FLAIR MR.
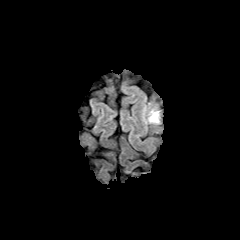
T1-weighted magnetic resonance.
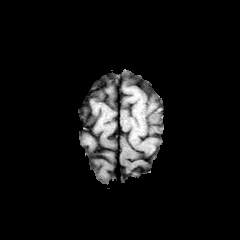
Post-contrast T1-weighted MRI.
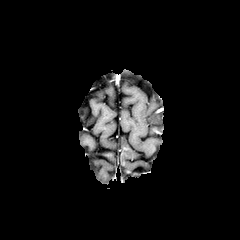
T2-weighted MR.
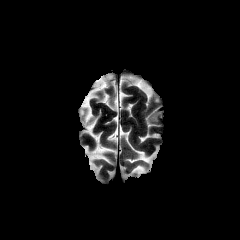
Image size 240x240, Axial view, Head
peritumoral edema: rect(149, 110, 159, 122)